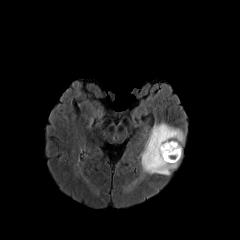
FLAIR MRI.
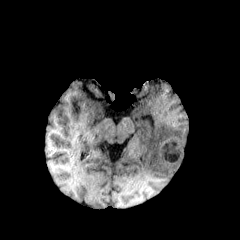
Same slice, T1-weighted MR image.
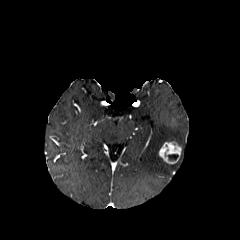
Post-contrast T1-weighted MR image.
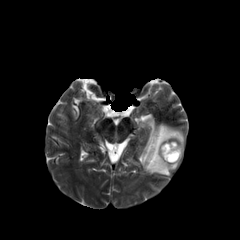
T2-weighted MR image of the same slice.
Head; 240x240
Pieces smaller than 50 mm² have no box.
The necrotic tumor core lies within {"x1": 164, "y1": 152, "x2": 178, "y2": 160}. The enhancing tumor is at {"x1": 158, "y1": 141, "x2": 181, "y2": 164}. The largest peritumoral edema region lies within {"x1": 141, "y1": 123, "x2": 184, "y2": 175}.